FLAIR MR.
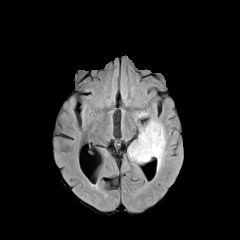
T1-weighted MR image.
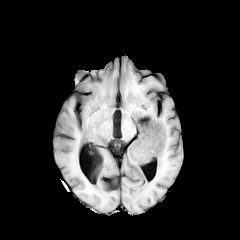
Post-contrast T1-weighted MR image.
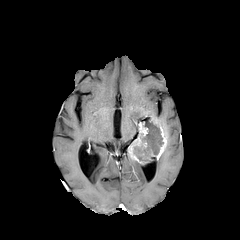
T2-weighted MR image.
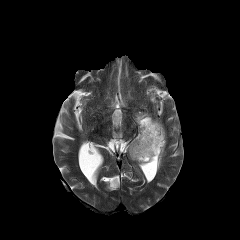
Axial plane. Image size 240x240. Head.
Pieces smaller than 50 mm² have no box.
necrotic tumor core = (134,121,163,161)
peritumoral edema = (135,112,156,125), (157,149,166,172)
enhancing tumor = (151,117,167,159), (128,122,148,162)